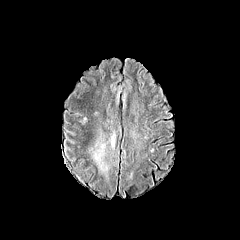
FLAIR MRI.
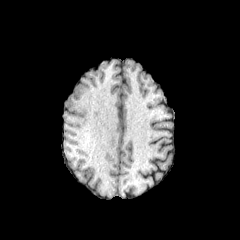
Same slice, T1-weighted magnetic resonance.
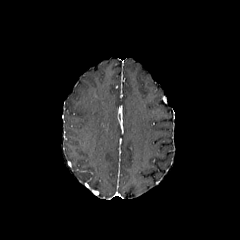
Same slice, post-contrast T1-weighted magnetic resonance.
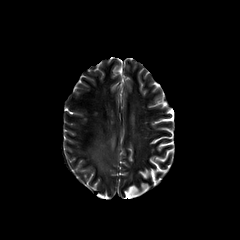
Same slice, T2-weighted MR.
Head
peritumoral_edema:
  - bbox=[93, 143, 108, 171]
  - bbox=[110, 135, 114, 149]